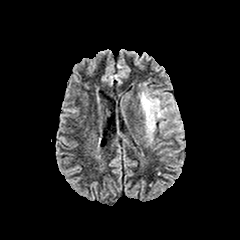
FLAIR MR image.
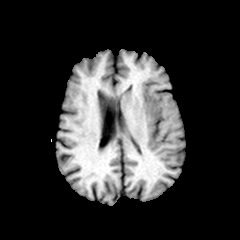
T1-weighted magnetic resonance of the same slice.
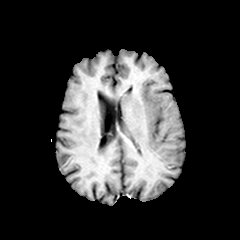
Post-contrast T1-weighted MR image of the same slice.
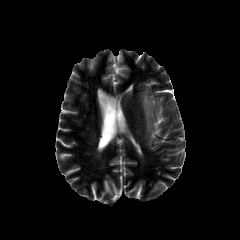
T2-weighted MR of the same slice.
Axial plane. Head.
The peritumoral edema is located at l=140, t=92, r=166, b=140.